Axial plane; 240x240 px
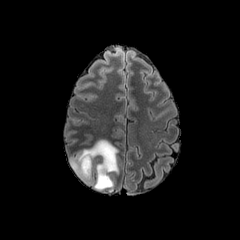
FLAIR MR.
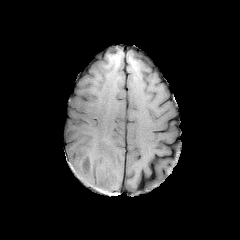
Same slice, T1-weighted MRI.
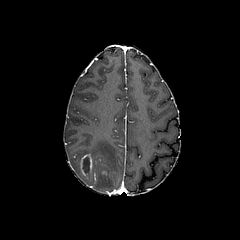
Post-contrast T1-weighted MR.
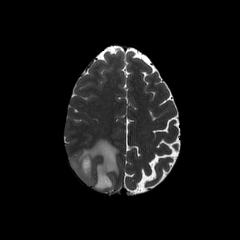
T2-weighted MR image.
necrotic tumor core = [x1=83, y1=157, x2=89, y2=173]
enhancing tumor = [x1=99, y1=168, x2=107, y2=176], [x1=80, y1=154, x2=92, y2=176]
peritumoral edema = [x1=69, y1=139, x2=118, y2=191]